FLAIR MR.
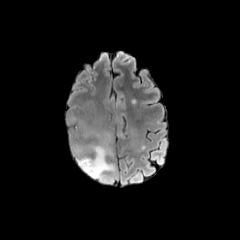
T1-weighted MRI.
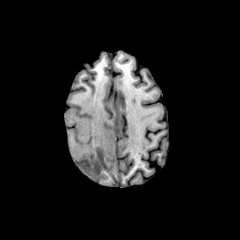
Post-contrast T1-weighted MR image.
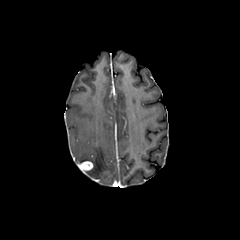
T2-weighted magnetic resonance.
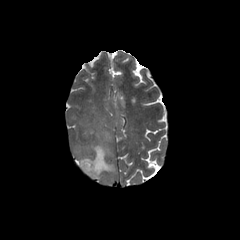
Axial view; Brain; Image size 240x240
- peritumoral edema: (x1=74, y1=130, x2=116, y2=182)
- enhancing tumor: (x1=79, y1=161, x2=93, y2=172)